Axial slice.
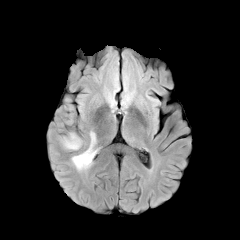
FLAIR magnetic resonance.
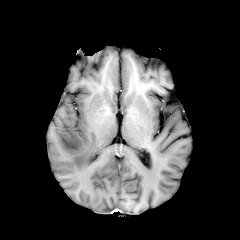
T1-weighted magnetic resonance of the same slice.
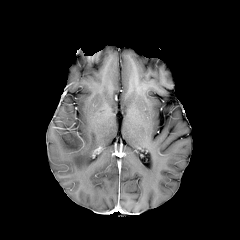
Post-contrast T1-weighted MR of the same slice.
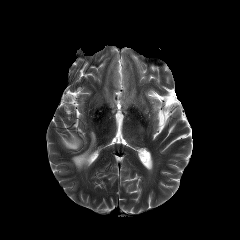
T2-weighted magnetic resonance of the same slice.
peritumoral_edema:
  - <bbox>62, 133, 82, 149</bbox>
  - <bbox>71, 132, 98, 170</bbox>